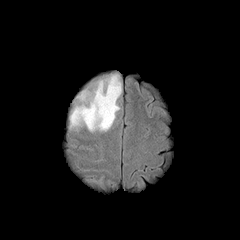
FLAIR MR.
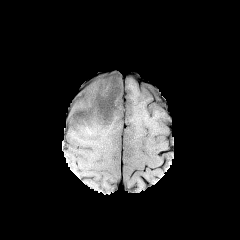
Same slice, T1-weighted MR.
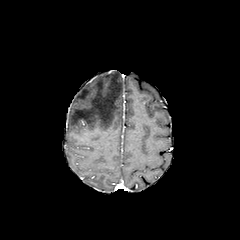
Post-contrast T1-weighted MR.
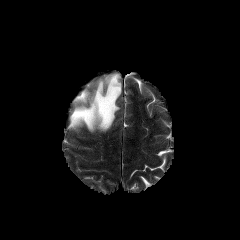
T2-weighted MRI.
<segmentation>
  <peritumoral_edema>l=70, t=73, r=121, b=131</peritumoral_edema>
</segmentation>